Axial slice | Image size 240x240 | Brain
FLAIR MR image.
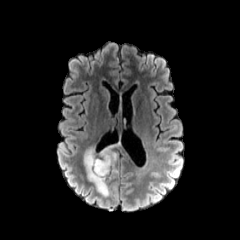
T1-weighted MRI.
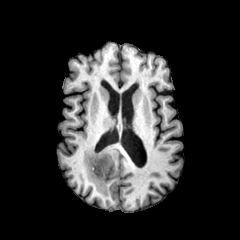
Post-contrast T1-weighted MRI.
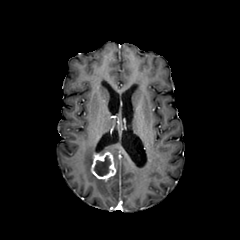
T2-weighted MRI.
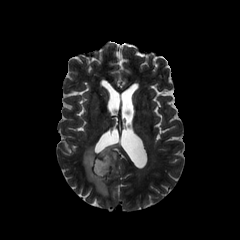
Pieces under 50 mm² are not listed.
The largest peritumoral edema region lies within [x1=84, y1=143, x2=118, y2=196]. The necrotic tumor core is at [x1=94, y1=155, x2=111, y2=176]. The enhancing tumor is bounded by [x1=91, y1=152, x2=116, y2=180].